Axial plane | Brain | Slice 65 of 155
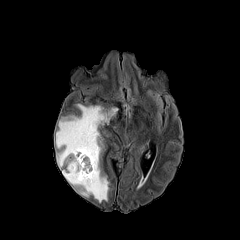
FLAIR MR image.
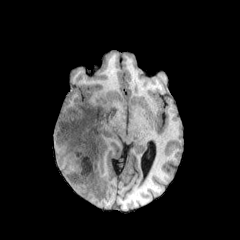
T1-weighted MRI of the same slice.
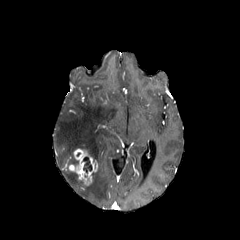
Post-contrast T1-weighted MRI.
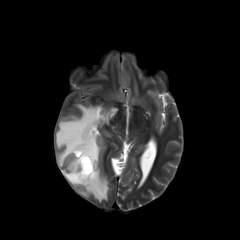
T2-weighted MR of the same slice.
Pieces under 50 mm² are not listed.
The enhancing tumor is at 69 149 97 185. The peritumoral edema is bounded by 55 104 117 202. The largest necrotic tumor core region is located at 82 156 92 173.